FLAIR MRI.
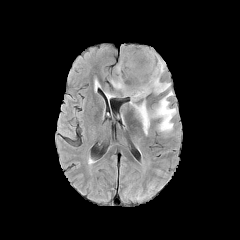
T1-weighted MR image.
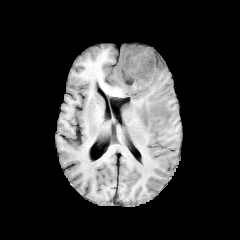
Post-contrast T1-weighted MR.
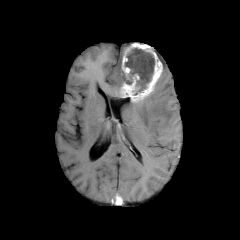
T2-weighted MR image.
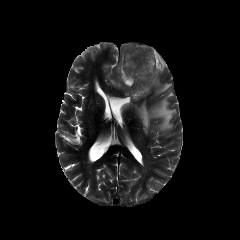
Image size 240x240
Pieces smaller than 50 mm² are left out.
2 necrotic tumor core regions are bounded by box(122, 71, 132, 84); box(125, 48, 154, 94). The 2 largest peritumoral edema regions are located at box(130, 78, 176, 134); box(96, 58, 125, 97). The enhancing tumor is located at box(121, 43, 163, 102).